Axial slice
FLAIR MR image.
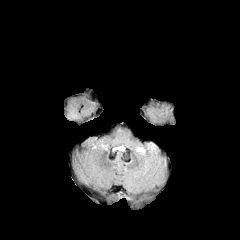
T1-weighted MRI.
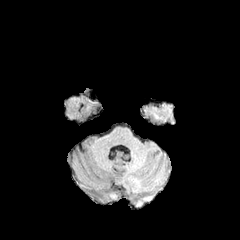
Post-contrast T1-weighted MR image.
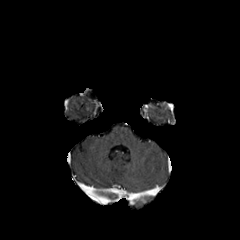
T2-weighted magnetic resonance.
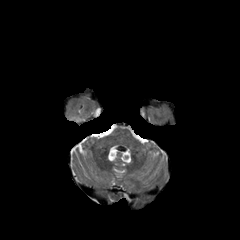
{
  "peritumoral_edema": [
    "left=67, top=112, right=77, bottom=118"
  ]
}